Head, Axial plane
FLAIR MR.
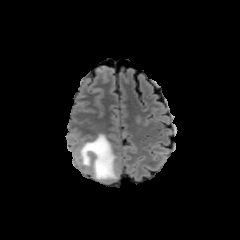
T1-weighted magnetic resonance.
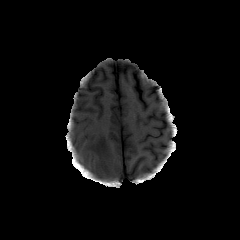
Post-contrast T1-weighted MRI.
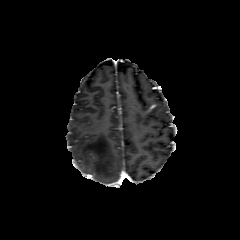
T2-weighted MR image.
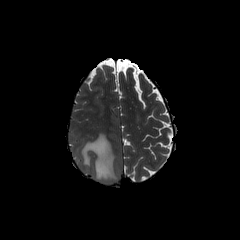
Annotated regions:
• peritumoral edema: rect(80, 133, 117, 182)